Axial view, Brain
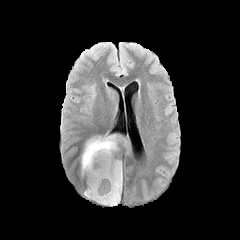
FLAIR MR image.
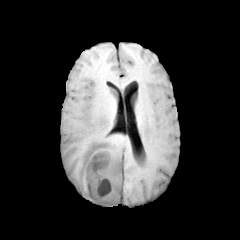
T1-weighted MRI.
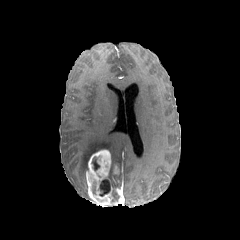
Post-contrast T1-weighted MR image.
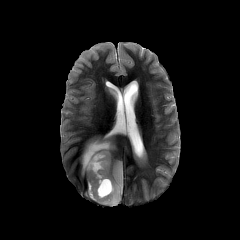
T2-weighted MR image.
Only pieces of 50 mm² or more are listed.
peritumoral_edema:
  - [109, 160, 122, 187]
  - [81, 134, 131, 174]
necrotic_tumor_core:
  - [99, 179, 110, 196]
  - [92, 157, 99, 170]
enhancing_tumor:
  - [113, 165, 119, 174]
  - [86, 150, 122, 206]